Slice 103 of 155, 240x240 px, Axial plane, Head
FLAIR MR image.
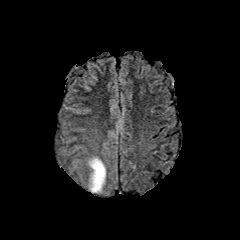
T1-weighted magnetic resonance.
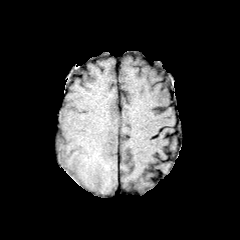
Post-contrast T1-weighted MR.
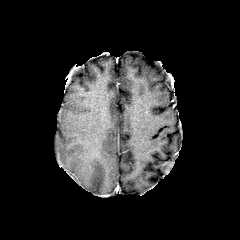
T2-weighted magnetic resonance.
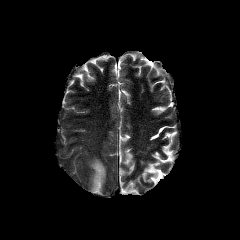
peritumoral edema: {"x1": 90, "y1": 158, "x2": 105, "y2": 192}